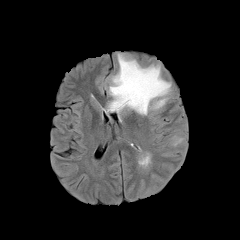
FLAIR MR image.
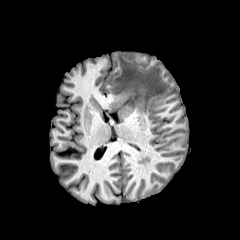
T1-weighted MR of the same slice.
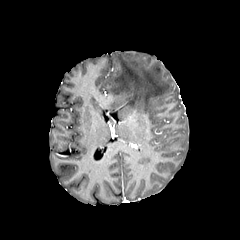
Post-contrast T1-weighted MRI.
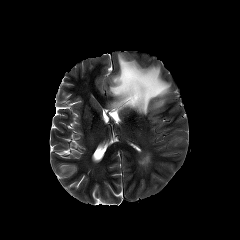
T2-weighted MRI of the same slice.
Image size 240x240; Brain; Axial plane
peritumoral_edema:
  - [165, 136, 184, 145]
  - [106, 54, 170, 114]